Axial slice; Head; Image width 240 mm
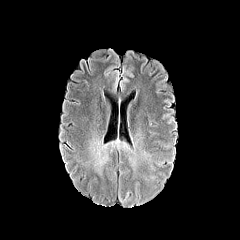
FLAIR MRI.
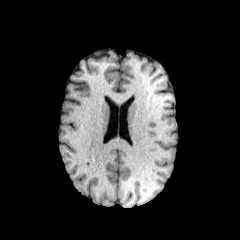
T1-weighted MR image.
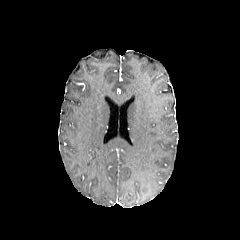
Post-contrast T1-weighted magnetic resonance of the same slice.
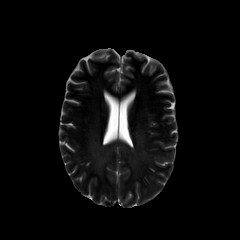
T2-weighted MR.
The peritumoral edema is at 76, 129, 157, 182.